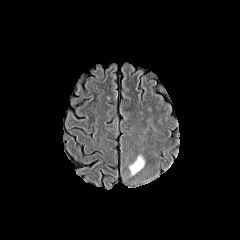
FLAIR MR.
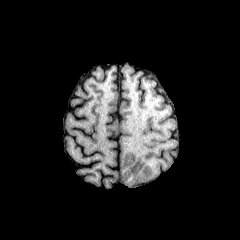
T1-weighted MR image.
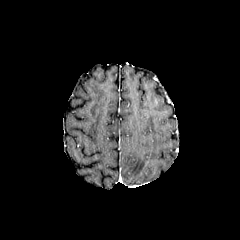
Post-contrast T1-weighted MR image.
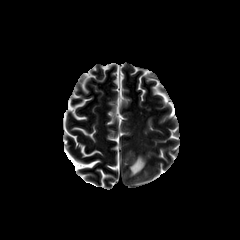
T2-weighted MR.
Brain, Axial slice
- peritumoral edema: bbox(129, 155, 144, 176)